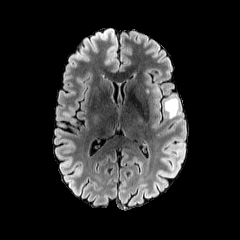
FLAIR MR image.
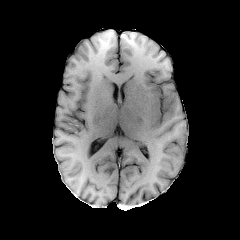
T1-weighted magnetic resonance.
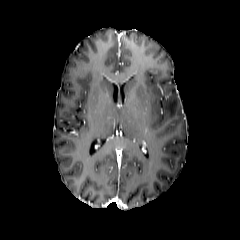
Post-contrast T1-weighted magnetic resonance of the same slice.
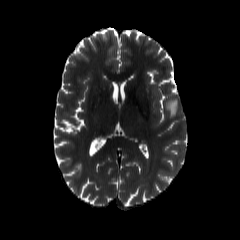
Same slice, T2-weighted MR image.
Brain, Image size 240x240
Annotated regions:
* peritumoral edema: [164,95,178,117]